Slice 103/155 | 240x240
FLAIR magnetic resonance.
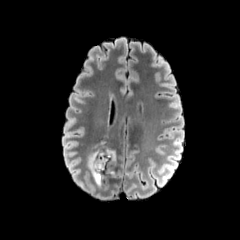
T1-weighted MR image.
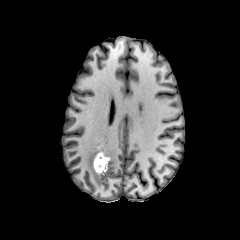
Post-contrast T1-weighted magnetic resonance.
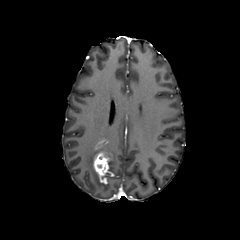
T2-weighted MR.
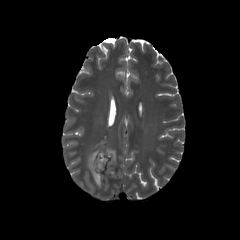
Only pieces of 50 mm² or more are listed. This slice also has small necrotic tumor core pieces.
<segmentation>
  <peritumoral_edema>bbox(88, 138, 116, 187)</peritumoral_edema>
  <enhancing_tumor>bbox(93, 151, 113, 184)</enhancing_tumor>
</segmentation>